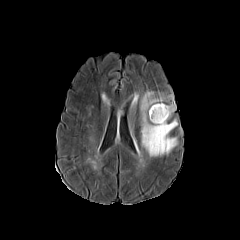
FLAIR magnetic resonance.
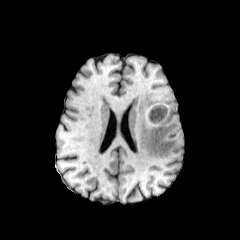
T1-weighted MR image.
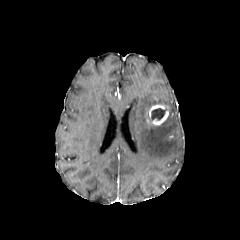
Post-contrast T1-weighted MRI.
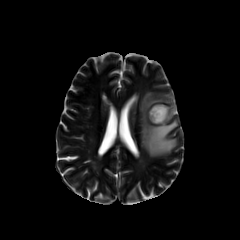
T2-weighted MRI.
peritumoral edema = x1=140, y1=91, x2=177, y2=157
necrotic tumor core = x1=151, y1=108, x2=166, y2=120
enhancing tumor = x1=148, y1=104, x2=169, y2=125